Head | Slice 42 of 155
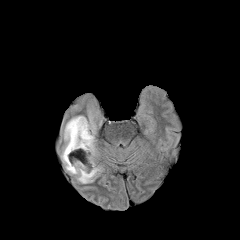
FLAIR MRI.
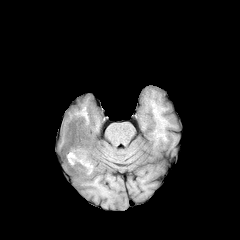
T1-weighted MR of the same slice.
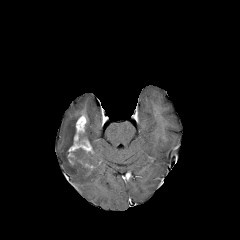
Same slice, post-contrast T1-weighted MRI.
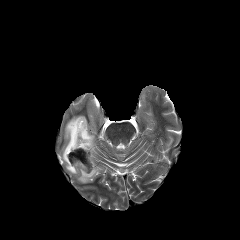
T2-weighted MR of the same slice.
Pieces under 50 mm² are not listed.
peritumoral edema at [x1=61, y1=113, x2=102, y2=183]
enhancing tumor at [x1=67, y1=115, x2=93, y2=158]
necrotic tumor core at [x1=69, y1=148, x2=91, y2=169]